FLAIR MRI.
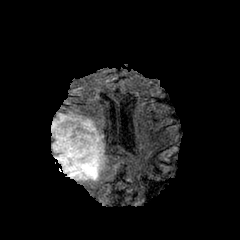
T1-weighted MR image.
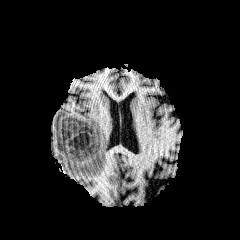
Post-contrast T1-weighted magnetic resonance.
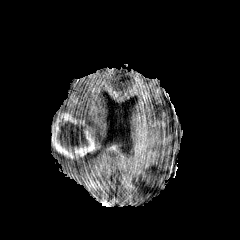
T2-weighted MR.
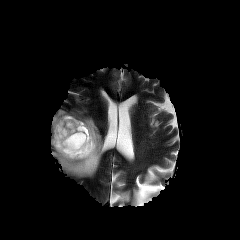
Axial view | Head
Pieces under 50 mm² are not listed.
Findings:
* peritumoral edema: l=51, t=111, r=103, b=178
* enhancing tumor: l=52, t=113, r=98, b=160
* necrotic tumor core: l=57, t=121, r=88, b=152